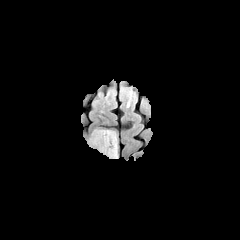
FLAIR MR image.
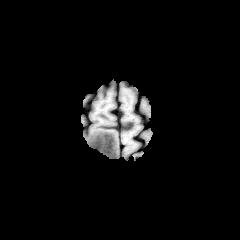
T1-weighted MR of the same slice.
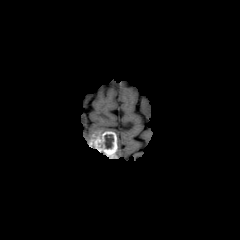
Post-contrast T1-weighted MRI.
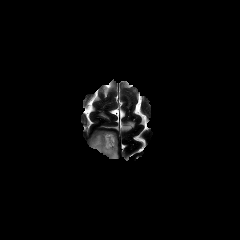
Same slice, T2-weighted magnetic resonance.
Brain; Axial plane
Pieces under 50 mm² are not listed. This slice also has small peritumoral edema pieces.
enhancing tumor = 89 131 117 158
necrotic tumor core = 104 134 113 148